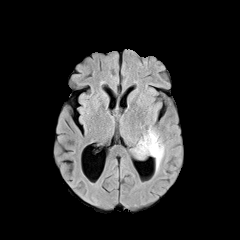
FLAIR MR.
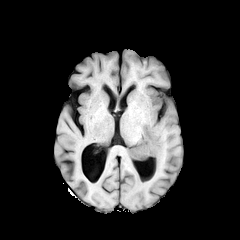
T1-weighted MR image of the same slice.
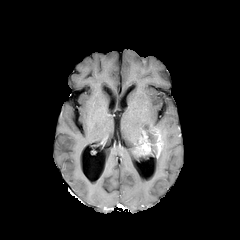
Same slice, post-contrast T1-weighted magnetic resonance.
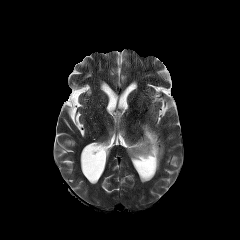
T2-weighted MR image of the same slice.
Image size 240x240 | Head
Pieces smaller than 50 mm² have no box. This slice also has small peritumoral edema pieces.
Segmented structures:
* necrotic tumor core: (151, 145, 156, 155), (146, 132, 157, 144)
* enhancing tumor: (153, 131, 162, 157), (134, 132, 152, 155)